FLAIR MR.
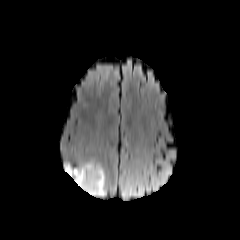
T1-weighted MR image.
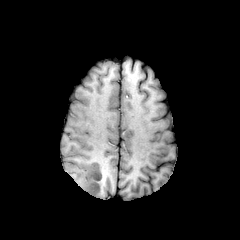
Post-contrast T1-weighted MRI.
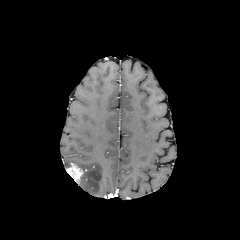
T2-weighted MR.
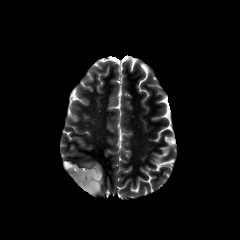
Head.
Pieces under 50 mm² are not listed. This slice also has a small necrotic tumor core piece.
enhancing_tumor:
  - [x1=66, y1=164, x2=83, y2=184]
peritumoral_edema:
  - [x1=78, y1=162, x2=105, y2=195]